Brain
FLAIR MR.
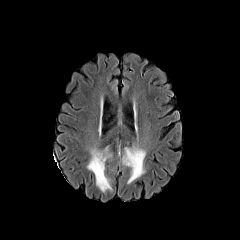
T1-weighted MRI.
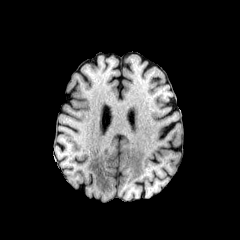
Post-contrast T1-weighted MRI.
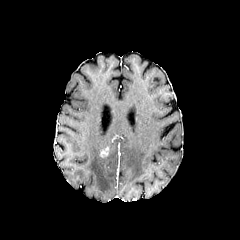
T2-weighted MR image.
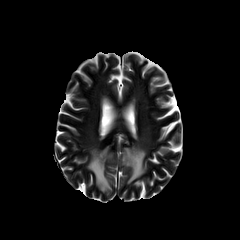
enhancing tumor — {"x1": 100, "y1": 147, "x2": 108, "y2": 157}
peritumoral edema — {"x1": 87, "y1": 148, "x2": 112, "y2": 192}, {"x1": 121, "y1": 145, "x2": 146, "y2": 183}